Image covers 240 mm x 240 mm | Head | Slice 84 of 155
FLAIR MR image.
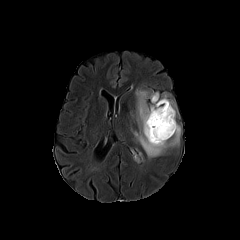
T1-weighted MRI.
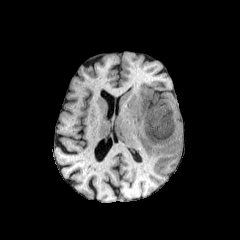
Post-contrast T1-weighted magnetic resonance.
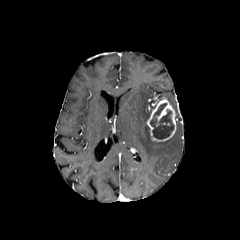
T2-weighted MR image.
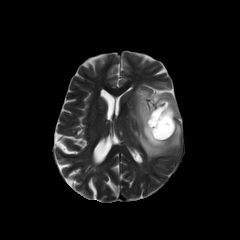
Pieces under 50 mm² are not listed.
Segmented structures:
• enhancing tumor: region(146, 95, 176, 141)
• peritumoral edema: region(133, 89, 181, 158); region(168, 99, 176, 115)
• necrotic tumor core: region(150, 103, 173, 139)